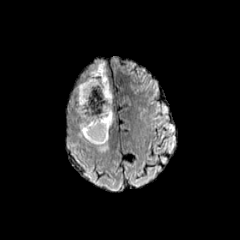
FLAIR magnetic resonance.
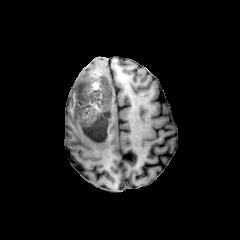
T1-weighted magnetic resonance of the same slice.
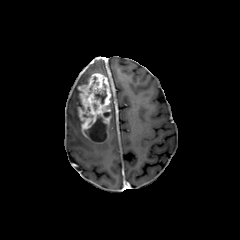
Same slice, post-contrast T1-weighted magnetic resonance.
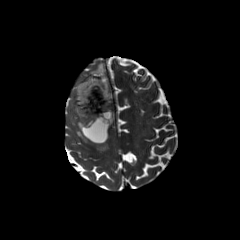
T2-weighted MRI of the same slice.
Brain | 240x240
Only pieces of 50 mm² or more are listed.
Annotated regions:
- enhancing tumor: 78 73 111 143
- necrotic tumor core: 85 115 106 141, 95 90 106 103, 89 76 98 92
- peritumoral edema: 78 119 108 151, 75 61 107 119, 110 88 113 125